Image covers 240 mm x 240 mm; Head
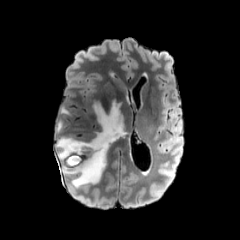
FLAIR MRI.
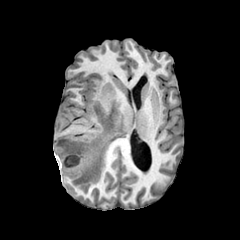
Same slice, T1-weighted MRI.
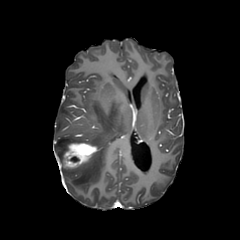
Same slice, post-contrast T1-weighted MR.
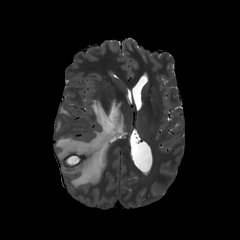
T2-weighted magnetic resonance.
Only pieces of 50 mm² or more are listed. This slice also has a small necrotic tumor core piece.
{"enhancing_tumor": ["x1=63, y1=142, x2=97, y2=168"], "peritumoral_edema": ["x1=56, y1=121, x2=62, y2=132", "x1=55, y1=100, x2=124, y2=188"]}